Slice 58 of 155. Image size 240x240.
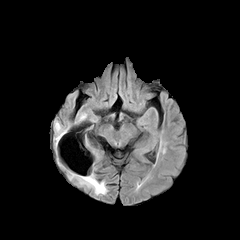
FLAIR MR image.
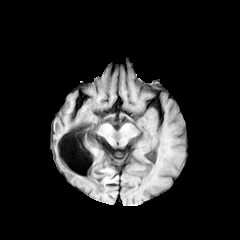
T1-weighted MR image of the same slice.
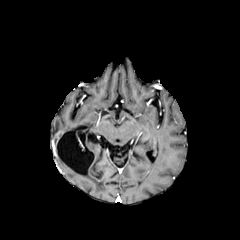
Post-contrast T1-weighted MRI.
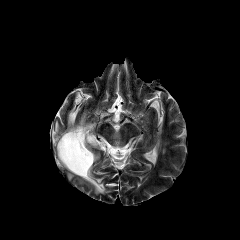
Same slice, T2-weighted MR image.
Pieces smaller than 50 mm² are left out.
Findings:
• peritumoral edema: box=[79, 174, 106, 193]